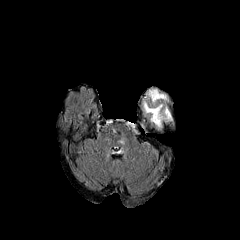
FLAIR MR.
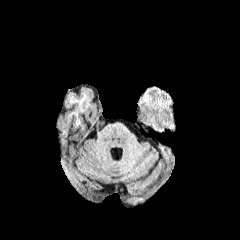
T1-weighted MR.
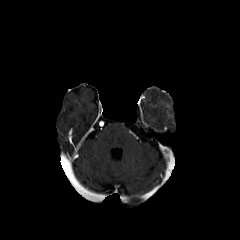
Same slice, post-contrast T1-weighted magnetic resonance.
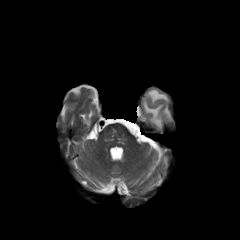
T2-weighted magnetic resonance.
240x240 px
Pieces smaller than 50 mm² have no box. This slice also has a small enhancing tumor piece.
{
  "peritumoral_edema": [
    "(x1=146, y1=89, x2=168, y2=103)",
    "(x1=143, y1=101, x2=171, y2=128)"
  ]
}